FLAIR MR.
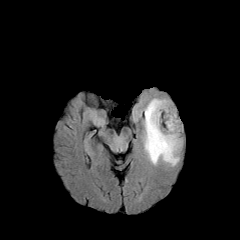
T1-weighted MR image.
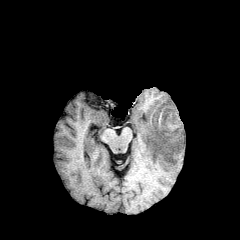
Post-contrast T1-weighted MRI.
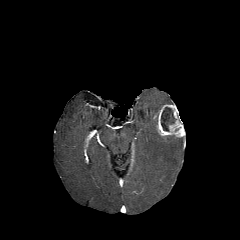
T2-weighted MRI.
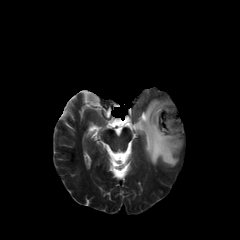
Image size 240x240.
The enhancing tumor lies within 153, 104, 184, 141. The necrotic tumor core is bounded by 161, 107, 175, 131. The peritumoral edema is located at 143, 98, 182, 166.